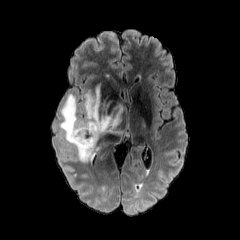
FLAIR MR image.
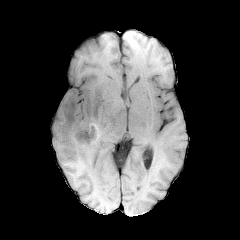
Same slice, T1-weighted MRI.
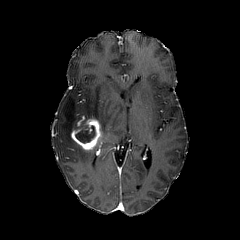
Post-contrast T1-weighted MRI of the same slice.
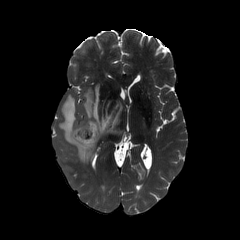
T2-weighted MR of the same slice.
Head | Axial plane
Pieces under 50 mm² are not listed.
<segmentation>
  <necrotic_tumor_core>(75,122,95,143)</necrotic_tumor_core>
  <enhancing_tumor>(71,119,101,150)</enhancing_tumor>
  <peritumoral_edema>(58,83,129,164)</peritumoral_edema>
</segmentation>